Head; 240x240; Image width 240 mm
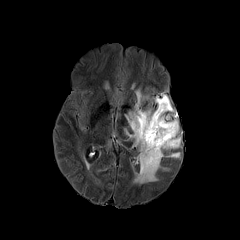
FLAIR magnetic resonance.
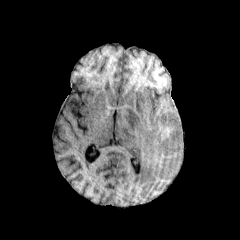
Same slice, T1-weighted MR image.
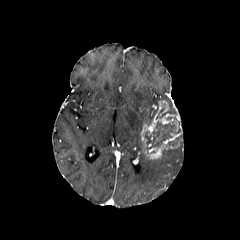
Post-contrast T1-weighted MR image.
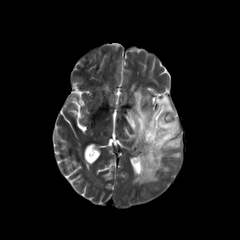
T2-weighted MR.
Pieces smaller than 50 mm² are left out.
peritumoral_edema:
  - [168,152,180,157]
  - [125,89,163,183]
  - [154,93,169,103]
enhancing_tumor:
  - [144,131,182,159]
  - [140,100,179,147]
necrotic_tumor_core:
  - [142,121,180,152]
  - [156,102,176,119]
  - [168,135,181,146]